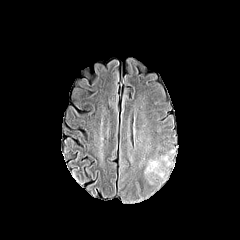
FLAIR MR.
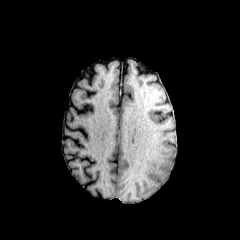
T1-weighted MR.
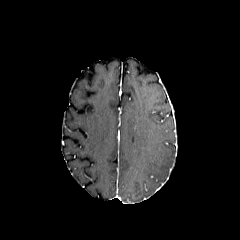
Post-contrast T1-weighted MR.
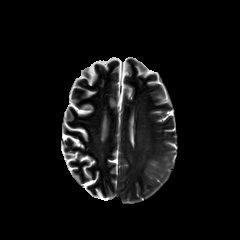
Same slice, T2-weighted magnetic resonance.
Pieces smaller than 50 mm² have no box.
• peritumoral edema: bbox(146, 160, 158, 171)